Slice 90 of 155. Image width 240 mm, 1.00 mm slice spacing.
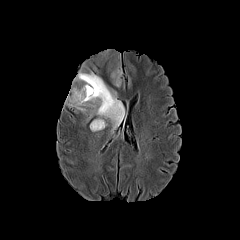
FLAIR magnetic resonance.
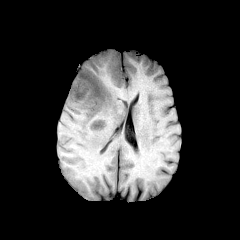
Same slice, T1-weighted magnetic resonance.
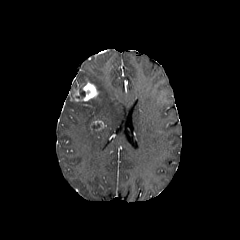
Post-contrast T1-weighted magnetic resonance of the same slice.
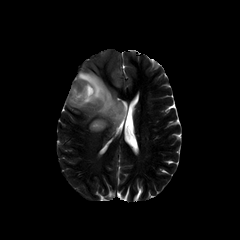
T2-weighted MR image.
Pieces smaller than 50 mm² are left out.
Annotated regions:
* necrotic tumor core: 79 87 89 97
* enhancing tumor: 90 120 106 130, 69 79 99 102
* peritumoral edema: 66 50 126 132